Head, 240x240 px
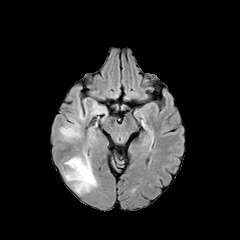
FLAIR MR image.
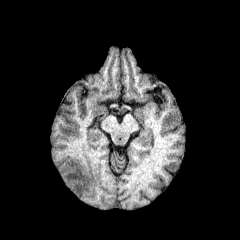
Same slice, T1-weighted MR.
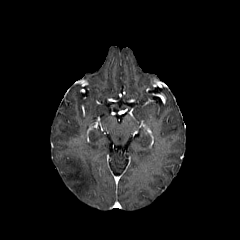
Post-contrast T1-weighted MR.
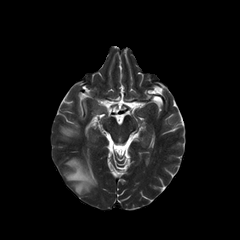
T2-weighted MR of the same slice.
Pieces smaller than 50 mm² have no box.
peritumoral edema = region(64, 152, 97, 193); region(59, 120, 81, 141)